Image width 240 mm, Slice 59 of 155, Brain, Axial view
FLAIR magnetic resonance.
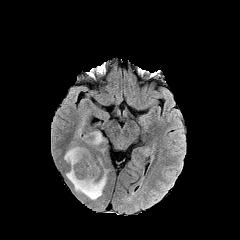
T1-weighted magnetic resonance.
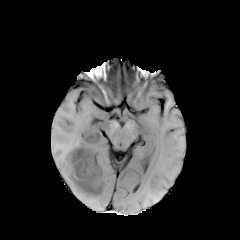
Post-contrast T1-weighted MR image.
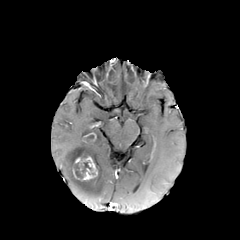
T2-weighted MR image.
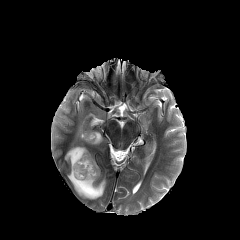
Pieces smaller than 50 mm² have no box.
The 3 largest peritumoral edema regions are bounded by {"x1": 64, "y1": 145, "x2": 107, "y2": 200}, {"x1": 76, "y1": 120, "x2": 84, "y2": 139}, {"x1": 84, "y1": 131, "x2": 105, "y2": 146}. The 2 largest necrotic tumor core regions appear at {"x1": 83, "y1": 134, "x2": 93, "y2": 142}, {"x1": 73, "y1": 162, "x2": 91, "y2": 179}. The largest enhancing tumor region is located at {"x1": 74, "y1": 155, "x2": 97, "y2": 180}.